FLAIR MR.
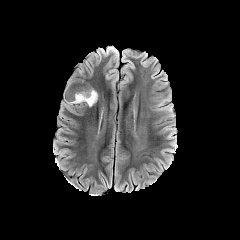
T1-weighted MRI.
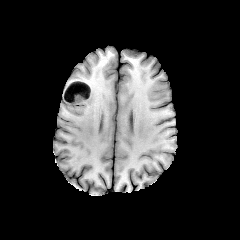
Post-contrast T1-weighted MR.
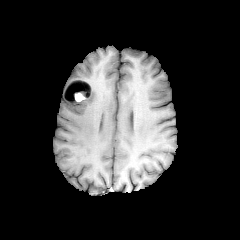
T2-weighted MR.
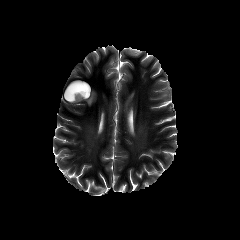
Brain; Axial plane
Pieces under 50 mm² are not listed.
necrotic tumor core: bbox=[66, 81, 90, 100] | peritumoral edema: bbox=[75, 90, 97, 106] | enhancing tumor: bbox=[63, 79, 92, 103]